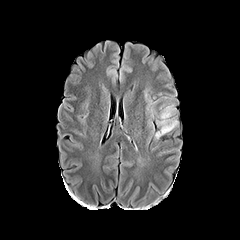
FLAIR MR image.
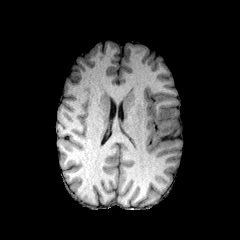
T1-weighted magnetic resonance.
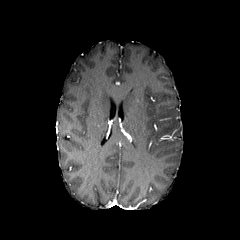
Post-contrast T1-weighted MR.
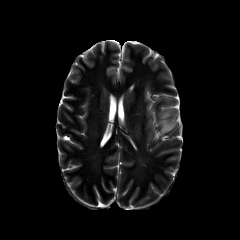
Same slice, T2-weighted MR.
Axial plane, 240x240 px, Brain
<segmentation>
  <peritumoral_edema>(left=155, top=118, right=178, bottom=138), (left=161, top=108, right=171, bottom=118)</peritumoral_edema>
</segmentation>